Slice 89 of 155, Image width 240 mm, 1.00 mm slice spacing
FLAIR MR image.
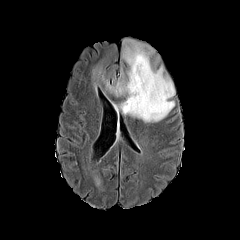
T1-weighted MR image.
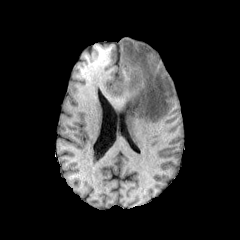
Post-contrast T1-weighted MR.
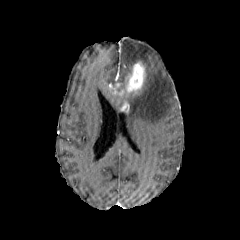
T2-weighted MRI.
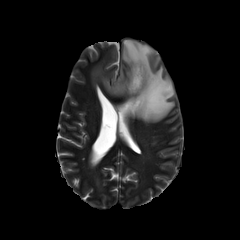
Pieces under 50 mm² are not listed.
enhancing tumor: bounding box [111,83,123,95], [126,61,146,92], [119,102,129,113]
peritumoral edema: bounding box [117,71,127,92], [122,38,175,122], [91,62,112,93]